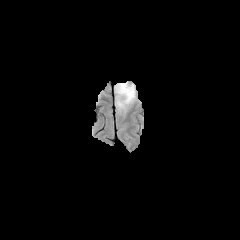
FLAIR MRI.
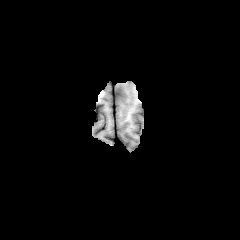
T1-weighted MR image.
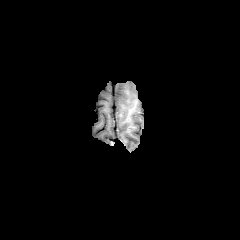
Same slice, post-contrast T1-weighted MR image.
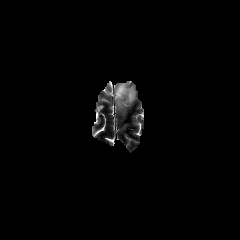
T2-weighted MR.
Image size 240x240, Brain
The peritumoral edema is located at x1=115 y1=82 x2=135 y2=108.